Brain
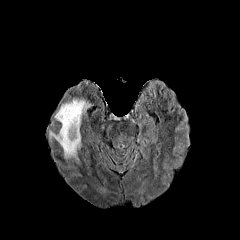
FLAIR MRI.
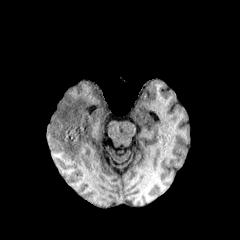
T1-weighted MR image.
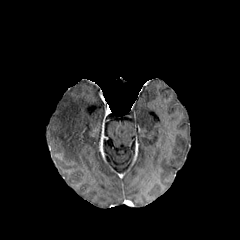
Same slice, post-contrast T1-weighted MR.
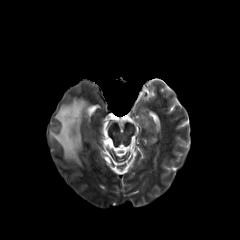
T2-weighted magnetic resonance of the same slice.
• peritumoral edema: 49,98,90,160